FLAIR magnetic resonance.
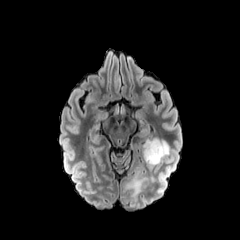
T1-weighted magnetic resonance.
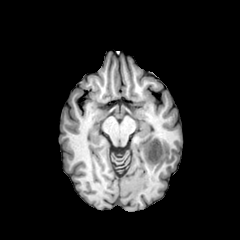
Post-contrast T1-weighted MRI.
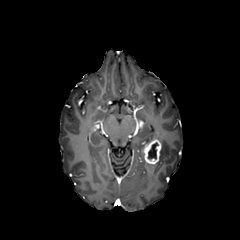
T2-weighted MR.
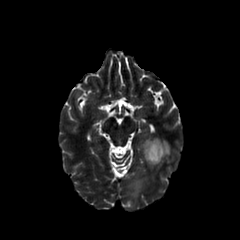
Head
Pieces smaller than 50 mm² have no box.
necrotic tumor core: (left=147, top=142, right=158, bottom=159) | peritumoral edema: (left=126, top=177, right=147, bottom=201), (left=142, top=137, right=170, bottom=164) | enhancing tumor: (left=143, top=139, right=161, bottom=164)